Slice 70 of 155
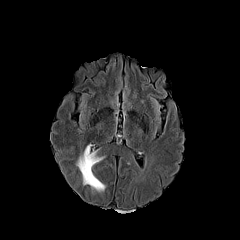
FLAIR MR.
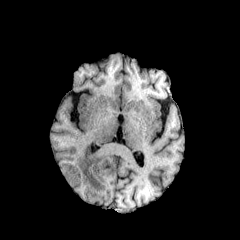
Same slice, T1-weighted MR.
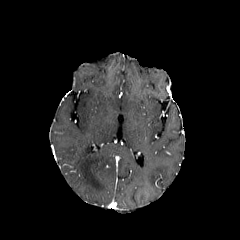
Same slice, post-contrast T1-weighted magnetic resonance.
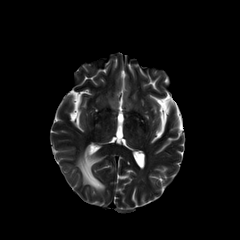
T2-weighted MR image of the same slice.
peritumoral edema: 76,145,105,191